FLAIR magnetic resonance.
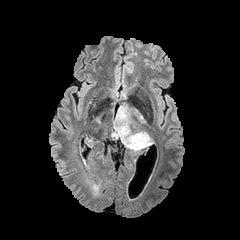
T1-weighted magnetic resonance.
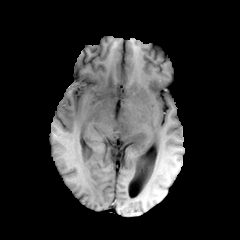
Post-contrast T1-weighted MR.
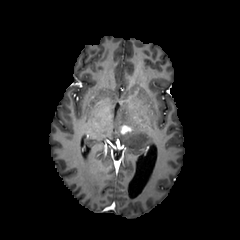
T2-weighted MRI.
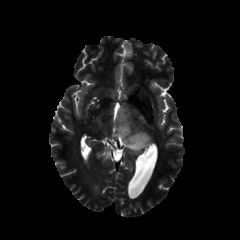
Brain.
peritumoral edema: bounding box 116:105:149:149
enhancing tumor: bounding box 121:125:131:133